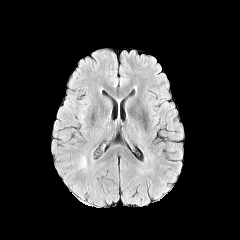
FLAIR magnetic resonance.
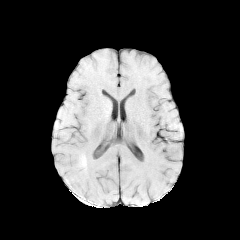
T1-weighted MR of the same slice.
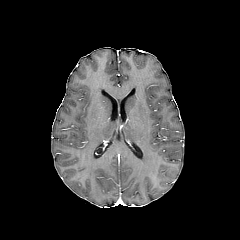
Same slice, post-contrast T1-weighted MRI.
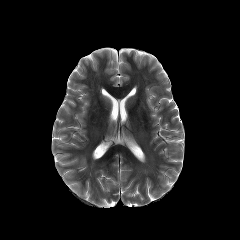
Same slice, T2-weighted MR.
Brain | 240x240
The peritumoral edema is located at (79, 156, 86, 169).